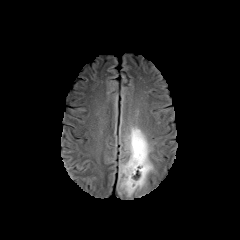
FLAIR MR image.
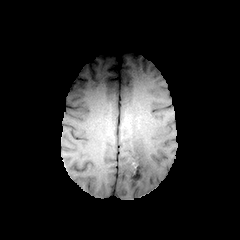
T1-weighted MRI.
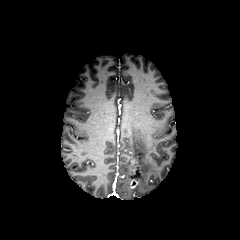
Post-contrast T1-weighted MR image.
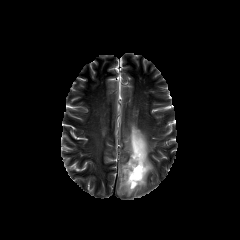
Same slice, T2-weighted MR.
Axial view | Image size 240x240
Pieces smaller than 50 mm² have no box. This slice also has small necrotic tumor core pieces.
The peritumoral edema is located at box=[119, 127, 153, 196]. The enhancing tumor appears at box=[129, 161, 142, 188].